Head; 240x240 px; Axial plane
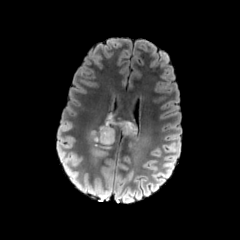
FLAIR MRI.
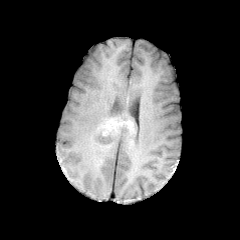
Same slice, T1-weighted MR image.
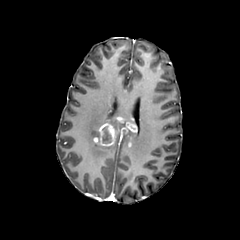
Post-contrast T1-weighted MR.
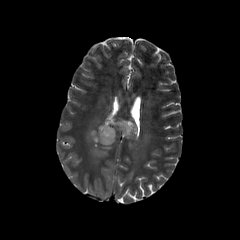
T2-weighted MR image.
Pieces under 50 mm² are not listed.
enhancing_tumor:
  - (93, 120, 118, 145)
  - (114, 117, 136, 135)
peritumoral_edema:
  - (129, 126, 151, 159)
  - (87, 130, 112, 165)
  - (105, 115, 125, 131)
necrotic_tumor_core:
  - (102, 126, 111, 143)